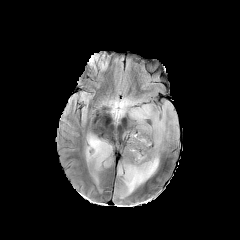
FLAIR magnetic resonance.
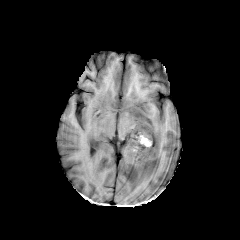
T1-weighted magnetic resonance.
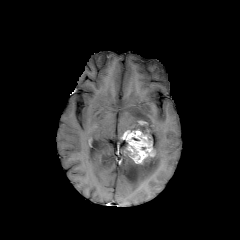
Post-contrast T1-weighted MRI.
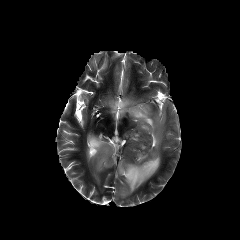
T2-weighted magnetic resonance.
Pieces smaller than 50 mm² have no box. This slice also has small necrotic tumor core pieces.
peritumoral edema — rect(86, 133, 112, 170); rect(109, 97, 168, 197)
enhancing tumor — rect(122, 129, 155, 163)